Head
FLAIR magnetic resonance.
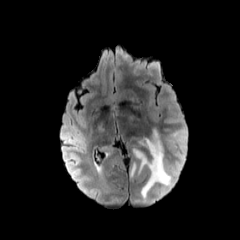
T1-weighted MR.
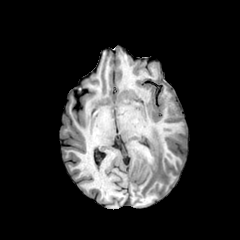
Post-contrast T1-weighted magnetic resonance.
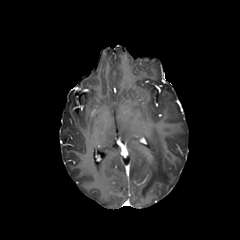
T2-weighted MRI.
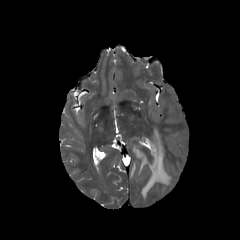
peritumoral edema: [x1=134, y1=129, x2=171, y2=198], [x1=131, y1=163, x2=136, y2=176]